FLAIR MRI.
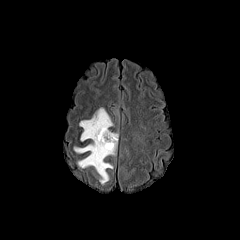
T1-weighted MR.
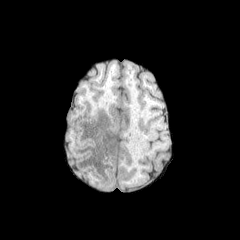
Post-contrast T1-weighted magnetic resonance.
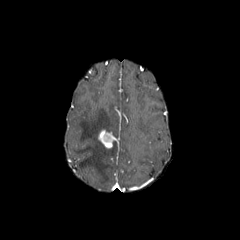
T2-weighted MRI.
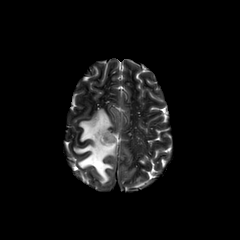
240x240 px | Axial slice
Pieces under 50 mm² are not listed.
peritumoral edema: (left=74, top=108, right=116, bottom=184) | enhancing tumor: (left=98, top=129, right=117, bottom=148)